Image size 240x240; Axial slice; Slice 70/155; Head
FLAIR MRI.
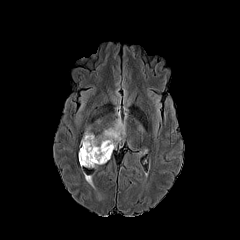
T1-weighted magnetic resonance.
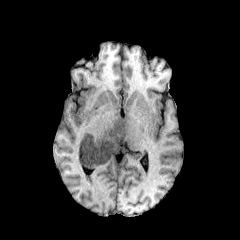
Post-contrast T1-weighted magnetic resonance.
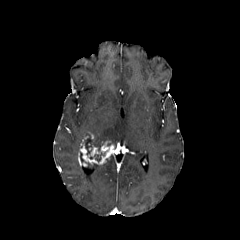
T2-weighted magnetic resonance.
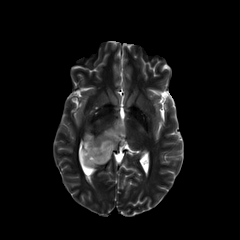
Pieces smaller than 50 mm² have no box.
The largest peritumoral edema region is located at l=95, t=114, r=125, b=147. The largest necrotic tumor core region is bounded by l=85, t=134, r=101, b=154. The largest enhancing tumor region is located at l=78, t=134, r=114, b=166.